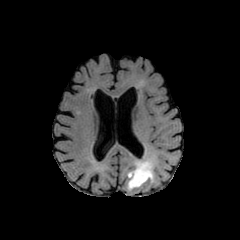
FLAIR MR.
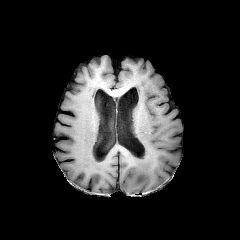
T1-weighted MRI.
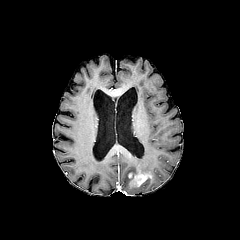
Post-contrast T1-weighted MR image.
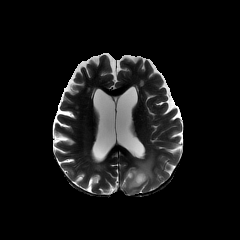
Same slice, T2-weighted magnetic resonance.
Image size 240x240. Head. Axial view.
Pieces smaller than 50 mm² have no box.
peritumoral edema: box(126, 152, 155, 191)
enhancing tumor: box(128, 170, 151, 186)